Image size 240x240 | Slice index 98
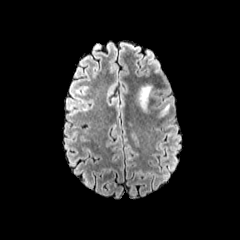
FLAIR magnetic resonance.
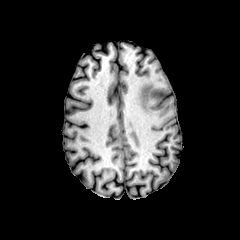
T1-weighted MR of the same slice.
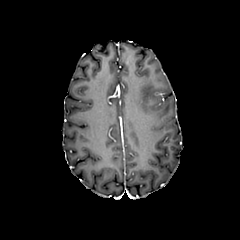
Post-contrast T1-weighted MR.
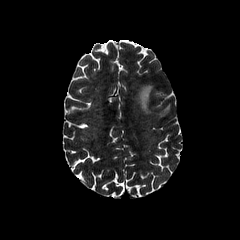
Same slice, T2-weighted MR image.
peritumoral edema: [x1=159, y1=104, x2=169, y2=115], [x1=138, y1=85, x2=152, y2=113]